FLAIR MRI.
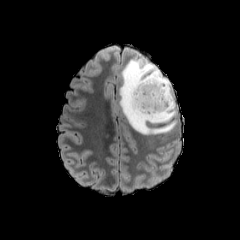
T1-weighted MRI.
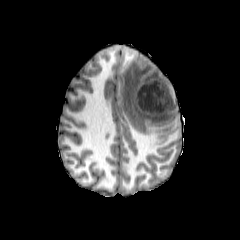
Post-contrast T1-weighted MR.
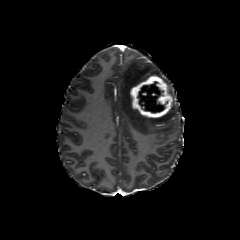
T2-weighted MR.
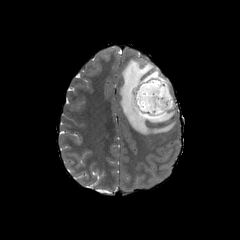
Head. 240x240.
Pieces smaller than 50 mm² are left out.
The largest necrotic tumor core region is at (138,81,164,112). The largest enhancing tumor region lies within (130,75,173,119). The peritumoral edema is located at (119,56,177,134).